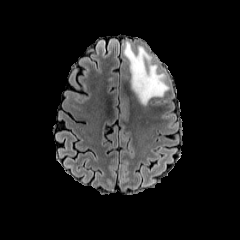
FLAIR MR image.
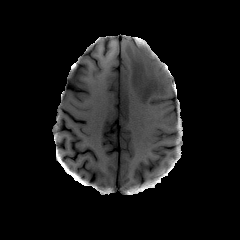
T1-weighted magnetic resonance of the same slice.
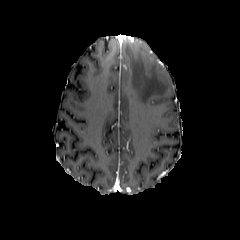
Post-contrast T1-weighted magnetic resonance of the same slice.
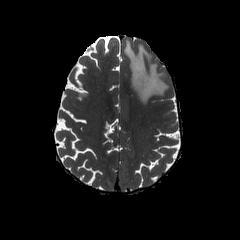
T2-weighted magnetic resonance of the same slice.
Image size 240x240 | Head | Axial plane
peritumoral edema at [x1=123, y1=40, x2=168, y2=104]